240x240 px; Image covers 240 mm x 240 mm
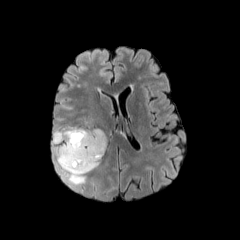
FLAIR MR.
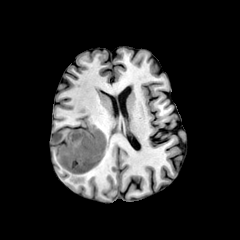
T1-weighted magnetic resonance of the same slice.
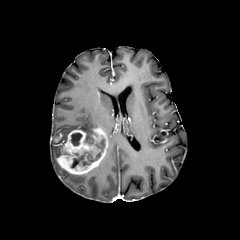
Post-contrast T1-weighted MRI of the same slice.
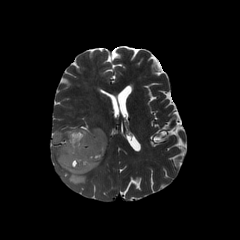
Same slice, T2-weighted magnetic resonance.
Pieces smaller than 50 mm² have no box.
enhancing tumor at x1=57 y1=127 x2=108 y2=174, x1=54 y1=133 x2=62 y2=142
peritumoral edema at x1=52 y1=127 x2=94 y2=185
necrotic tumor core at x1=85 y1=134 x2=93 y2=144, x1=71 y1=139 x2=104 y2=167, x1=71 y1=133 x2=82 y2=145